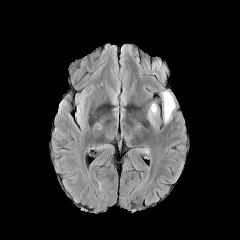
FLAIR MR.
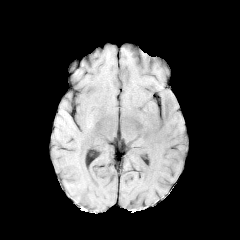
T1-weighted MRI.
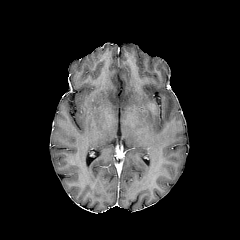
Post-contrast T1-weighted MR image.
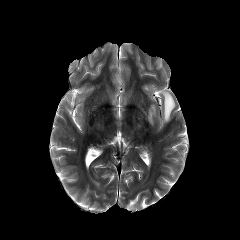
T2-weighted MRI.
Head. Axial slice.
2 peritumoral edema regions appear at (x1=161, y1=90, x2=175, y2=123), (x1=147, y1=103, x2=158, y2=125).